240x240. Axial view. Slice index 90.
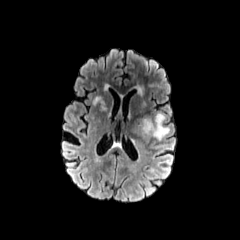
FLAIR magnetic resonance.
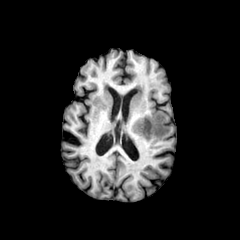
Same slice, T1-weighted MR image.
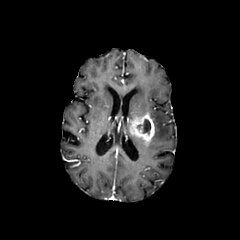
Post-contrast T1-weighted MRI.
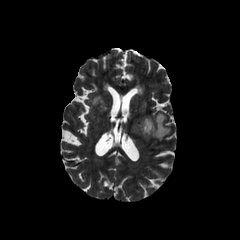
Same slice, T2-weighted MRI.
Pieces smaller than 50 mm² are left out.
necrotic tumor core: bounding box bbox(143, 119, 150, 133)
enhancing tumor: bounding box bbox(130, 112, 155, 146)
peritumoral edema: bounding box bbox(152, 112, 169, 140)